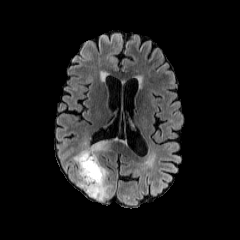
FLAIR MR.
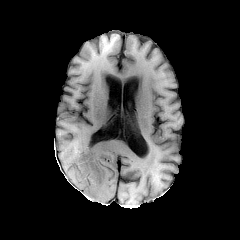
Same slice, T1-weighted MR image.
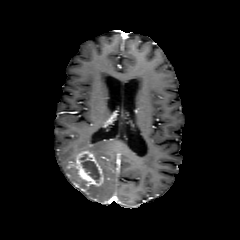
Post-contrast T1-weighted MR image of the same slice.
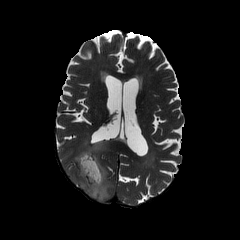
T2-weighted magnetic resonance.
Axial slice
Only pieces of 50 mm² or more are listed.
enhancing tumor — (75, 150, 103, 186)
peritumoral edema — (68, 140, 111, 201)
necrotic tumor core — (81, 160, 100, 182)